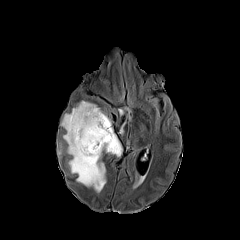
FLAIR MRI.
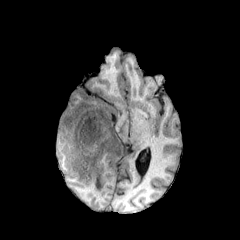
Same slice, T1-weighted magnetic resonance.
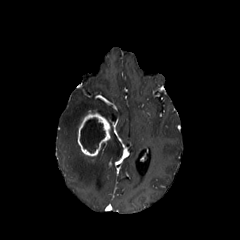
Post-contrast T1-weighted MR of the same slice.
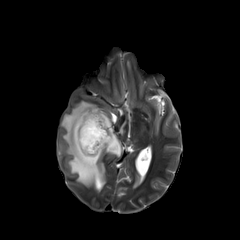
T2-weighted MRI of the same slice.
Axial view
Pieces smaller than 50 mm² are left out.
Segmented structures:
- peritumoral edema: (61,100,122,192)
- enhancing tumor: (77,110,110,156)
- necrotic tumor core: (80,117,105,152)